Brain.
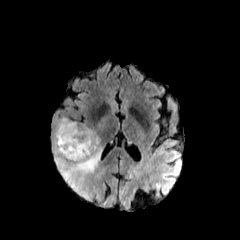
FLAIR MR.
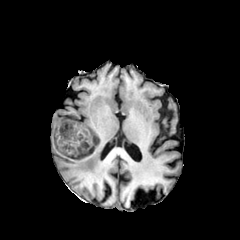
T1-weighted MR.
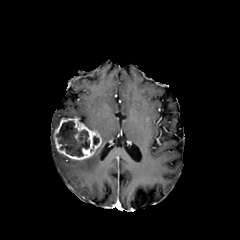
Post-contrast T1-weighted MR of the same slice.
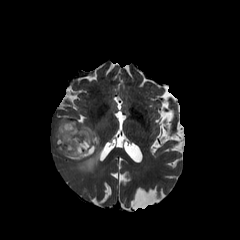
T2-weighted magnetic resonance.
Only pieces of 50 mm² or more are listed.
necrotic tumor core: bounding box (x1=56, y1=121, x2=89, y2=157), (x1=93, y1=136, x2=99, y2=147)
peritumoral edema: bounding box (x1=98, y1=114, x2=108, y2=126), (x1=50, y1=115, x2=103, y2=201)
enhancing tumor: bounding box (x1=53, y1=117, x2=101, y2=160)